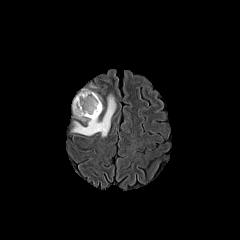
FLAIR MR image.
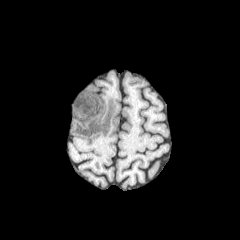
T1-weighted MR.
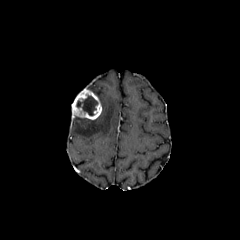
Post-contrast T1-weighted MRI.
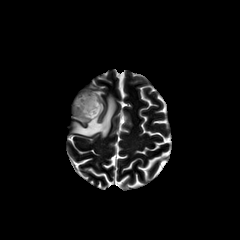
T2-weighted MRI of the same slice.
Head. Axial view.
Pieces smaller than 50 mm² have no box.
Findings:
- enhancing tumor: left=72, top=89, right=102, bottom=119
- peritumoral edema: left=72, top=94, right=116, bottom=137
- necrotic tumor core: left=76, top=95, right=97, bottom=115